FLAIR MRI.
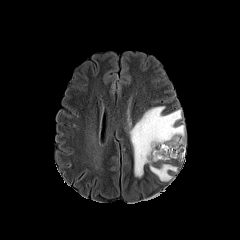
T1-weighted MR.
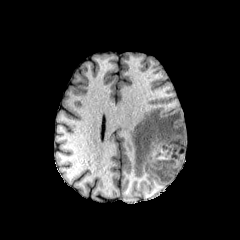
Post-contrast T1-weighted MRI.
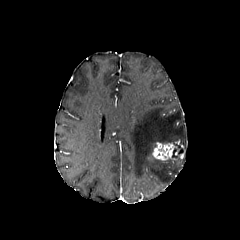
T2-weighted magnetic resonance.
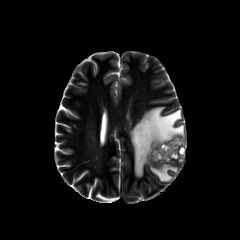
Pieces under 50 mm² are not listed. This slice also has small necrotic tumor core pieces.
enhancing tumor: 152,140,184,160 | peritumoral edema: 129,106,185,181